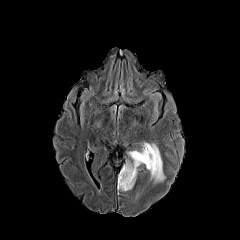
FLAIR MRI.
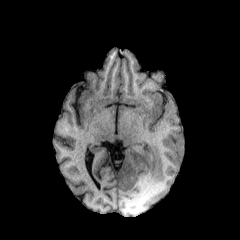
Same slice, T1-weighted MR image.
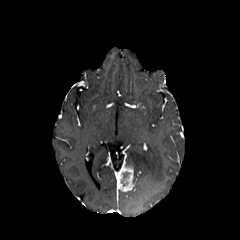
Post-contrast T1-weighted MRI.
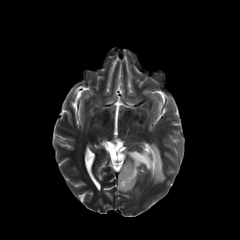
T2-weighted magnetic resonance of the same slice.
Head
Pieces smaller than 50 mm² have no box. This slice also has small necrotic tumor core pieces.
enhancing tumor = (left=119, top=165, right=134, bottom=191)
peritumoral edema = (left=127, top=143, right=165, bottom=182)